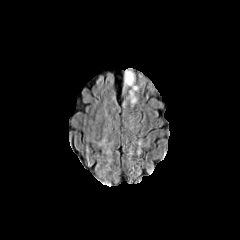
FLAIR MR.
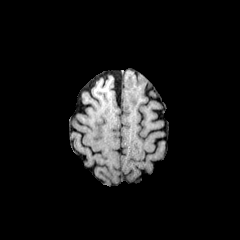
T1-weighted magnetic resonance.
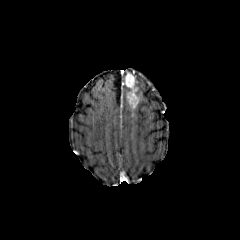
Post-contrast T1-weighted magnetic resonance.
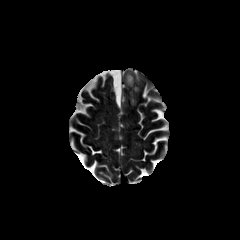
T2-weighted MR image of the same slice.
240x240 px | Head
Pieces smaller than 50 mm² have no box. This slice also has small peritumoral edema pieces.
Segmented structures:
* enhancing tumor: x1=125, y1=72, x2=137, y2=106